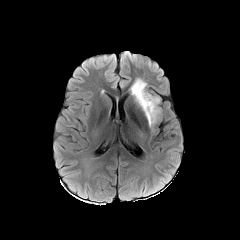
FLAIR MRI.
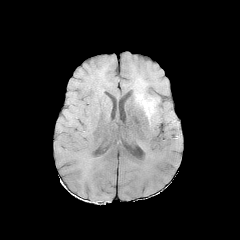
Same slice, T1-weighted MR.
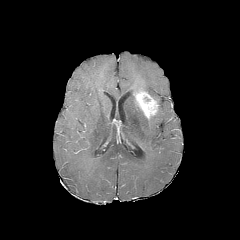
Post-contrast T1-weighted magnetic resonance.
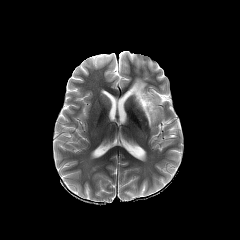
T2-weighted MRI of the same slice.
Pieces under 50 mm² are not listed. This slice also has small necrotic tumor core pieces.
The enhancing tumor is located at 134:90:158:118. The 2 largest peritumoral edema regions are located at 130:78:147:97, 148:106:160:126.